Slice 82/155
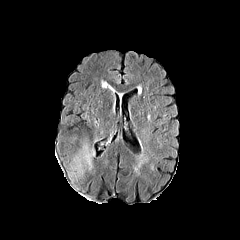
FLAIR MR image.
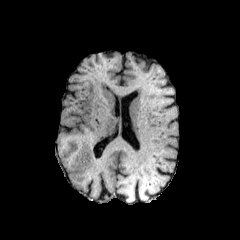
T1-weighted MR of the same slice.
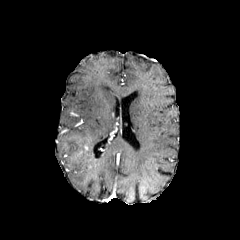
Post-contrast T1-weighted MRI.
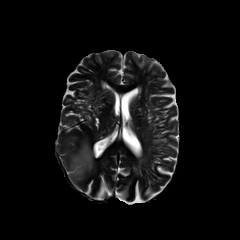
T2-weighted MR image.
Annotated regions:
- peritumoral edema: (x1=71, y1=144, x2=94, y2=177)